Image size 240x240; Slice 81/155
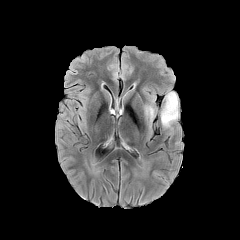
FLAIR MRI.
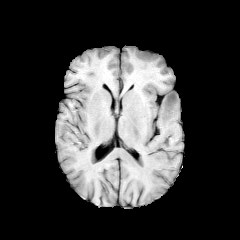
T1-weighted MRI of the same slice.
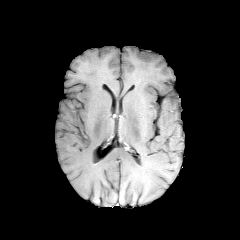
Post-contrast T1-weighted MR image.
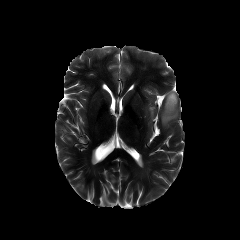
T2-weighted magnetic resonance.
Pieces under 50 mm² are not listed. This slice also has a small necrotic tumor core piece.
peritumoral edema at <box>145,105,154,126</box>, <box>161,90,179,128</box>